Slice 66 of 155. Head.
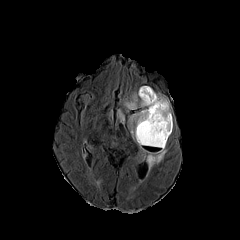
FLAIR magnetic resonance.
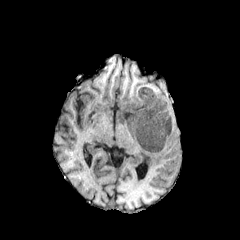
T1-weighted MRI of the same slice.
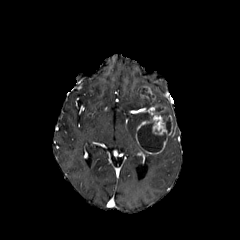
Post-contrast T1-weighted magnetic resonance of the same slice.
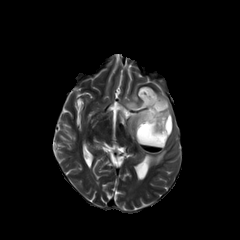
Same slice, T2-weighted magnetic resonance.
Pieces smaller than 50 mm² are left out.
necrotic tumor core: rect(137, 123, 166, 152); rect(142, 89, 153, 99); rect(166, 117, 171, 133) | peritumoral edema: rect(147, 146, 166, 168); rect(129, 112, 150, 137); rect(124, 86, 171, 121); rect(119, 112, 124, 123) | enhancing tumor: rect(140, 87, 155, 101); rect(135, 104, 172, 154)